FLAIR magnetic resonance.
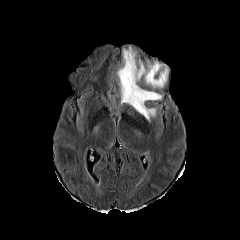
T1-weighted magnetic resonance.
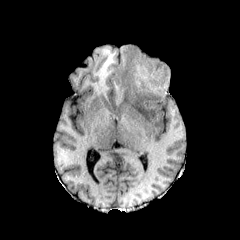
Post-contrast T1-weighted MRI.
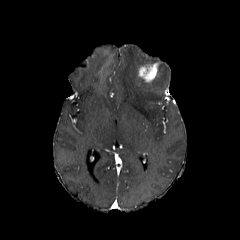
T2-weighted MR.
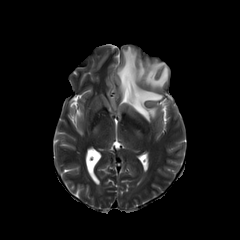
Axial slice | Brain
peritumoral edema — (x1=146, y1=64, x2=168, y2=88), (x1=117, y1=46, x2=162, y2=121)
enhancing tumor — (x1=139, y1=62, x2=159, y2=81)